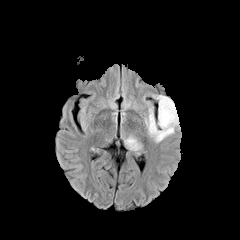
FLAIR MR.
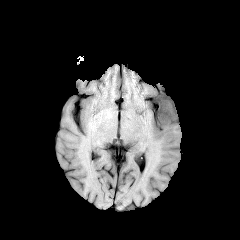
Same slice, T1-weighted magnetic resonance.
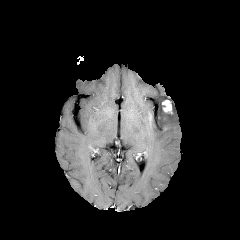
Same slice, post-contrast T1-weighted MRI.
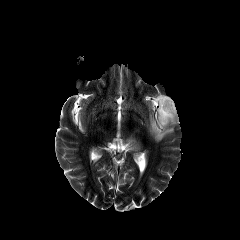
T2-weighted magnetic resonance.
Axial view | Head | Image size 240x240
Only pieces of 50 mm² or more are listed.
<segmentation>
  <peritumoral_edema>(145,95,179,142), (124,136,141,151)</peritumoral_edema>
  <enhancing_tumor>(162,99,172,113)</enhancing_tumor>
</segmentation>